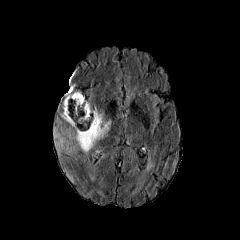
FLAIR MRI.
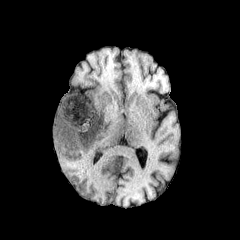
Same slice, T1-weighted MRI.
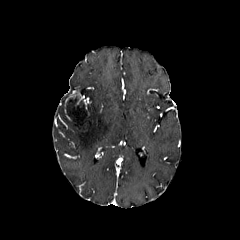
Post-contrast T1-weighted MR image of the same slice.
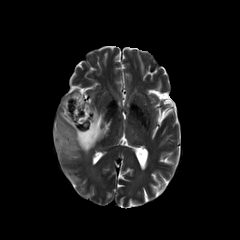
T2-weighted MR.
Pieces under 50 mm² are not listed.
{
  "necrotic_tumor_core": [
    "<bbox>62, 89, 72, 108</bbox>",
    "<bbox>66, 97, 90, 130</bbox>"
  ],
  "peritumoral_edema": [
    "<bbox>61, 105, 110, 153</bbox>",
    "<bbox>54, 128, 74, 153</bbox>"
  ],
  "enhancing_tumor": [
    "<bbox>64, 90, 88, 120</bbox>"
  ]
}